FLAIR MR.
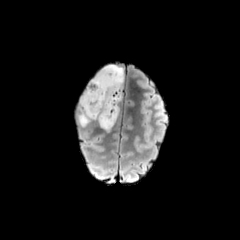
T1-weighted MR.
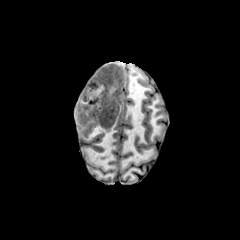
Post-contrast T1-weighted MR image.
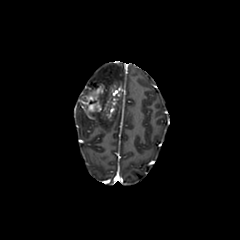
T2-weighted MRI.
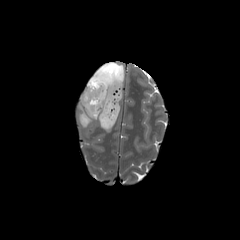
Head.
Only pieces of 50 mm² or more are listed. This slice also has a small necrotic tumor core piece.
{
  "enhancing_tumor": [
    "(80,81,122,120)"
  ],
  "peritumoral_edema": [
    "(89,64,124,88)",
    "(78,103,119,131)"
  ]
}